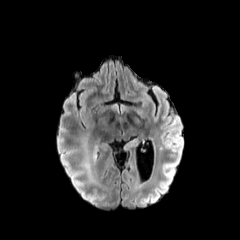
FLAIR MRI.
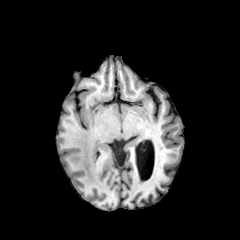
T1-weighted MR of the same slice.
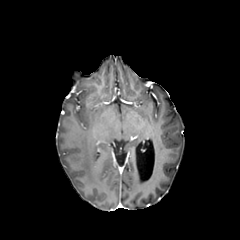
Same slice, post-contrast T1-weighted magnetic resonance.
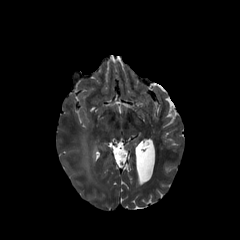
T2-weighted MR.
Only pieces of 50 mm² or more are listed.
Annotated regions:
- peritumoral edema: 82,139,93,181